Head | Axial view | Slice 100 of 155
FLAIR magnetic resonance.
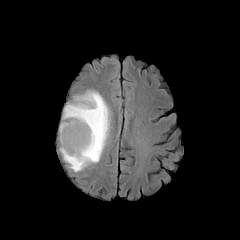
T1-weighted MR.
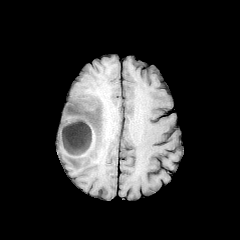
Post-contrast T1-weighted MRI.
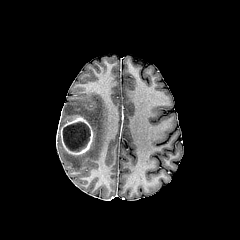
T2-weighted MR image.
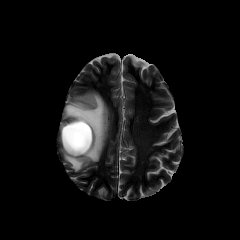
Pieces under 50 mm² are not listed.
The enhancing tumor lies within (60,115,93,155). The largest peritumoral edema region lies within (60,91,109,171). The necrotic tumor core appears at (63,122,90,151).